Slice 52/155, Axial slice, Image covers 240 mm x 240 mm, 240x240
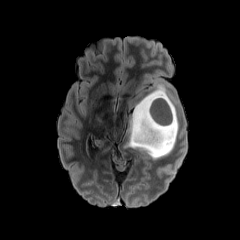
FLAIR MR.
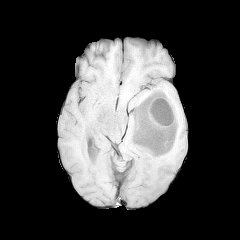
T1-weighted MR image of the same slice.
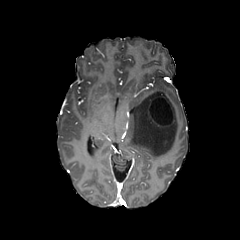
Post-contrast T1-weighted MR image.
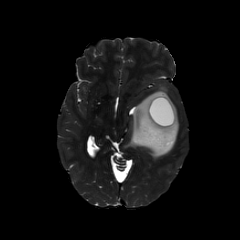
T2-weighted MR.
peritumoral_edema:
  - region(126, 85, 178, 159)
necrotic_tumor_core:
  - region(150, 98, 171, 124)
enhancing_tumor:
  - region(148, 96, 174, 126)